FLAIR magnetic resonance.
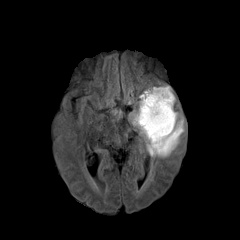
T1-weighted MR.
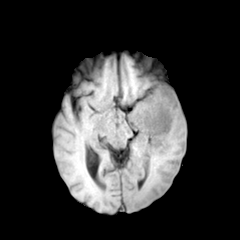
Post-contrast T1-weighted MR.
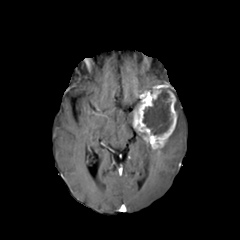
T2-weighted MR.
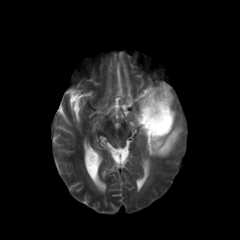
Axial slice
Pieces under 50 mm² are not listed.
The largest peritumoral edema region is at x1=146 y1=112 x2=184 y2=157. The enhancing tumor appears at x1=132 y1=84 x2=176 y2=149. The necrotic tumor core appears at x1=142 y1=88 x2=171 y2=135.